Slice 67/155
FLAIR MRI.
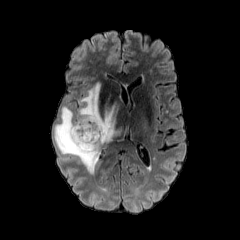
T1-weighted magnetic resonance.
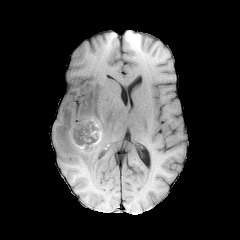
Post-contrast T1-weighted MRI.
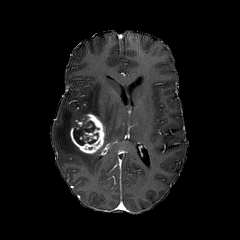
T2-weighted magnetic resonance.
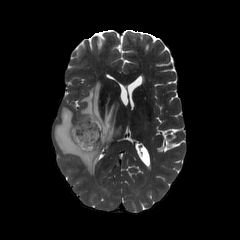
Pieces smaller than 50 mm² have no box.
The peritumoral edema appears at 54, 81, 128, 173. The largest enhancing tumor region is bounded by 70, 113, 105, 154. The largest necrotic tumor core region is bounded by 73, 118, 99, 145.